FLAIR MRI.
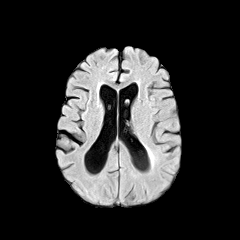
T1-weighted MR image.
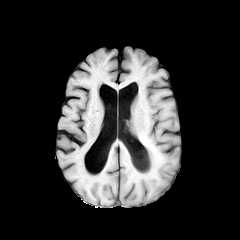
Post-contrast T1-weighted MR image.
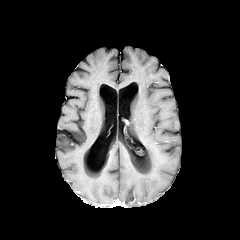
T2-weighted MR.
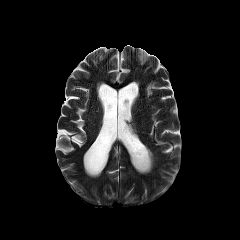
Head
Annotated regions:
* peritumoral edema: bbox=[145, 145, 154, 164]